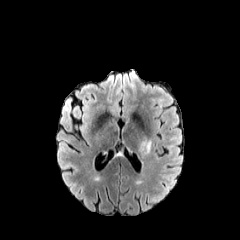
FLAIR MR.
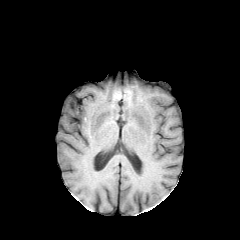
T1-weighted MRI.
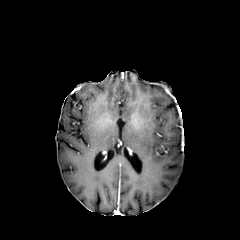
Same slice, post-contrast T1-weighted magnetic resonance.
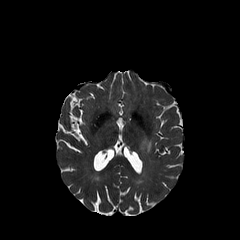
Same slice, T2-weighted magnetic resonance.
Axial view | Brain
peritumoral edema: box(140, 140, 151, 155)